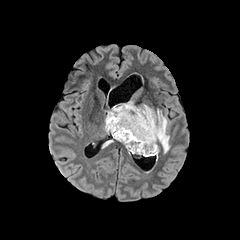
FLAIR MRI.
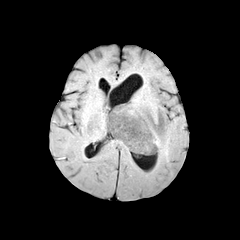
T1-weighted MR.
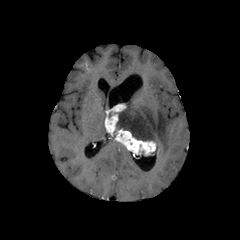
Post-contrast T1-weighted MRI.
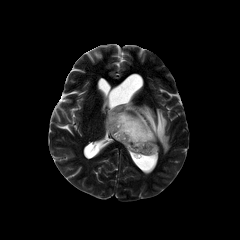
T2-weighted MR.
Axial plane
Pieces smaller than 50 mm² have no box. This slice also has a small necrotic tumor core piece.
enhancing tumor at box=[105, 103, 156, 155]
peritumoral edema at box=[116, 100, 169, 153]